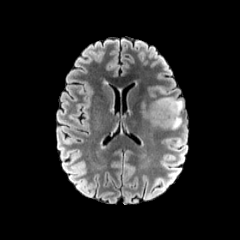
FLAIR MR.
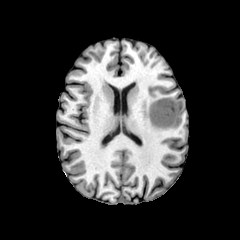
T1-weighted MRI of the same slice.
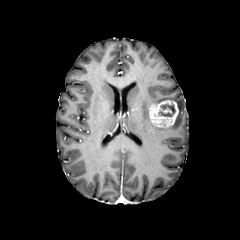
Post-contrast T1-weighted MRI.
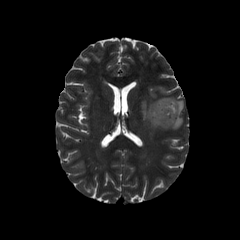
T2-weighted MR.
Head; 240x240 px
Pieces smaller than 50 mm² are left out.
necrotic tumor core: region(159, 104, 175, 116) | peritumoral edema: region(155, 97, 183, 129) | enhancing tumor: region(149, 100, 178, 127)